FLAIR MR.
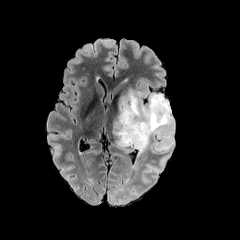
T1-weighted MR.
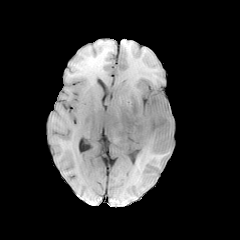
Post-contrast T1-weighted magnetic resonance.
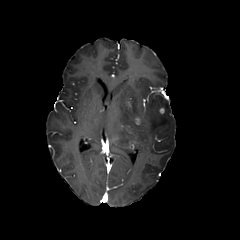
T2-weighted magnetic resonance.
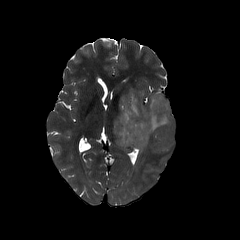
Head; Axial view; Image size 240x240
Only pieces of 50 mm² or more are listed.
{
  "enhancing_tumor": [
    "[x1=133, y1=116, x2=142, y2=125]"
  ],
  "peritumoral_edema": [
    "[x1=113, y1=91, x2=173, y2=153]"
  ]
}